FLAIR MR.
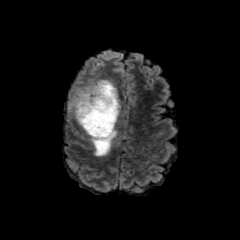
T1-weighted MR.
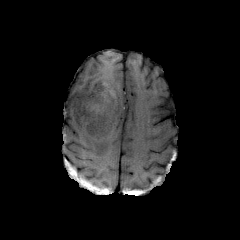
Post-contrast T1-weighted MR image.
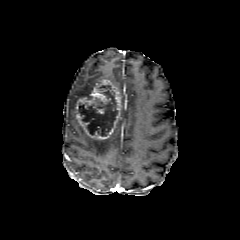
T2-weighted MR image.
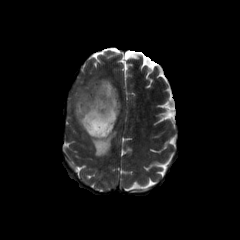
Axial plane
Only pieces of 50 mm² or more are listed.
Segmented structures:
* peritumoral edema: (left=68, top=78, right=103, bottom=118), (left=82, top=129, right=117, bottom=156)
* necrotic tumor core: (left=78, top=85, right=117, bottom=136)
* enhancing tumor: (left=75, top=79, right=121, bottom=140)